240x240 px.
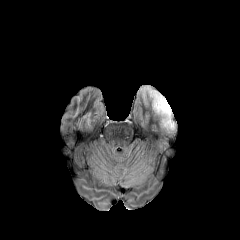
FLAIR MRI.
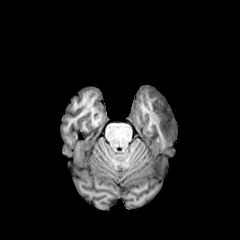
T1-weighted MR image of the same slice.
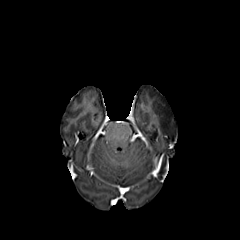
Same slice, post-contrast T1-weighted MR.
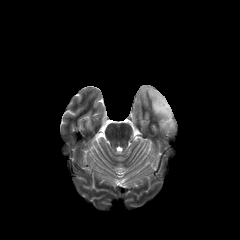
T2-weighted MRI.
peritumoral edema — 149,89,175,129